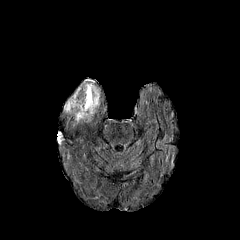
FLAIR MR image.
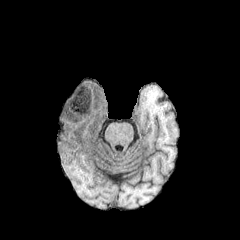
T1-weighted MR image.
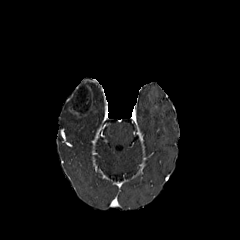
Post-contrast T1-weighted MR image.
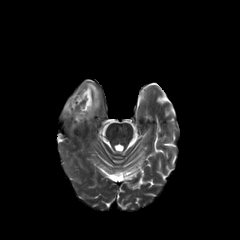
Same slice, T2-weighted MR.
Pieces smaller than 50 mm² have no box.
<segmentation>
  <necrotic_tumor_core>rect(65, 83, 91, 112)</necrotic_tumor_core>
  <peritumoral_edema>rect(74, 82, 99, 123)</peritumoral_edema>
  <enhancing_tumor>rect(68, 106, 81, 117); rect(82, 87, 92, 116)</enhancing_tumor>
</segmentation>